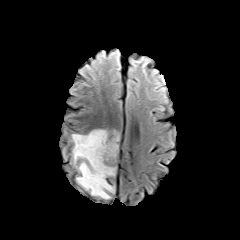
FLAIR MRI.
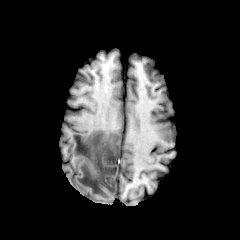
T1-weighted MR image.
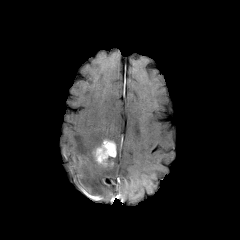
Post-contrast T1-weighted magnetic resonance.
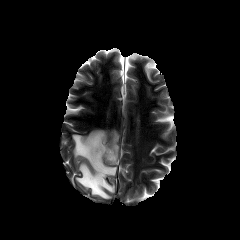
T2-weighted MR of the same slice.
Brain | 240x240 | Axial view
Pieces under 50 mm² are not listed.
Segmented structures:
* enhancing tumor: 93, 140, 116, 168
* peritumoral edema: 72, 129, 116, 199; 109, 131, 119, 152